Axial plane. Head. 240x240.
FLAIR MR.
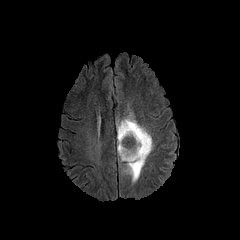
T1-weighted MR image.
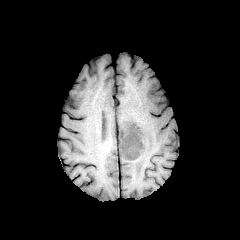
Post-contrast T1-weighted MR image.
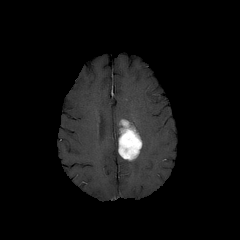
T2-weighted MR image.
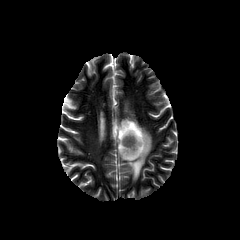
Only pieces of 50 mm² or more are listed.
enhancing tumor: bounding box [118,119,142,161]
peritumoral edema: bounding box [120,112,153,182]